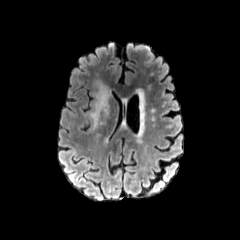
FLAIR magnetic resonance.
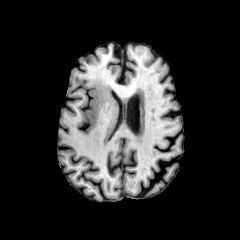
T1-weighted MR.
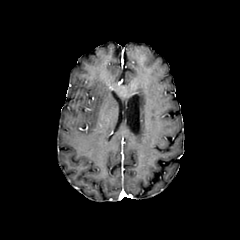
Post-contrast T1-weighted MRI.
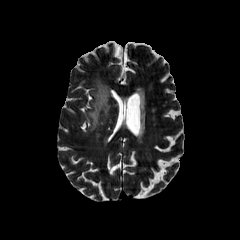
T2-weighted MRI of the same slice.
240x240
The peritumoral edema is bounded by <box>88,81,110,129</box>.